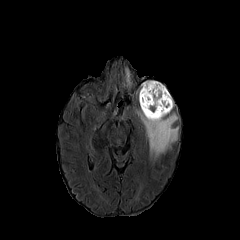
FLAIR MR image.
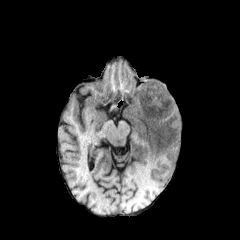
Same slice, T1-weighted magnetic resonance.
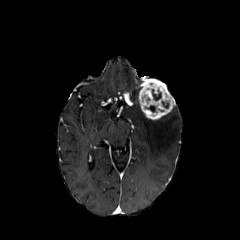
Post-contrast T1-weighted MR of the same slice.
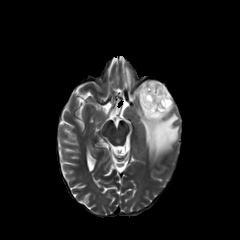
T2-weighted magnetic resonance.
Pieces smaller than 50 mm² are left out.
necrotic_tumor_core:
  - l=152, t=89, r=161, b=100
enhancing_tumor:
  - l=138, t=79, r=175, b=120
peritumoral_edema:
  - l=125, t=68, r=131, b=87
  - l=136, t=107, r=179, b=160